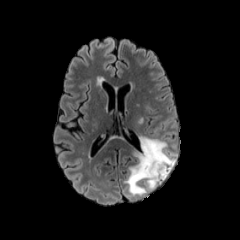
FLAIR MR image.
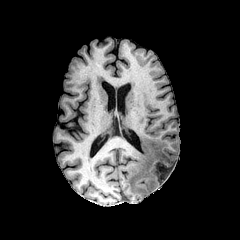
T1-weighted MR image.
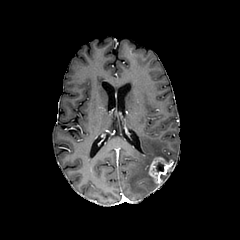
Same slice, post-contrast T1-weighted MR.
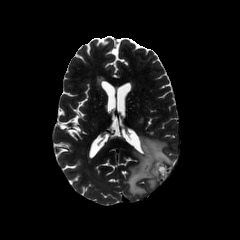
T2-weighted MRI.
Head | Axial view
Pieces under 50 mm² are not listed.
The enhancing tumor is at box(148, 156, 173, 183). The largest peritumoral edema region is located at box(124, 136, 176, 195). The largest necrotic tumor core region is bounded by box(156, 162, 163, 172).